FLAIR MR.
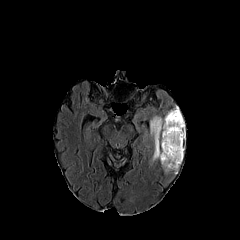
T1-weighted MR image.
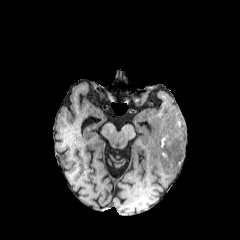
Post-contrast T1-weighted magnetic resonance.
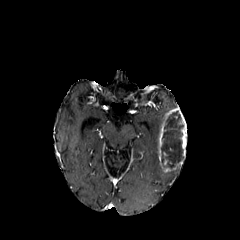
T2-weighted MRI.
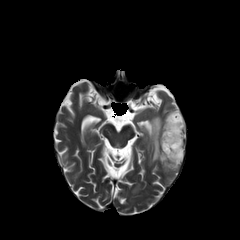
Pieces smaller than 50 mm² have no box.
The largest peritumoral edema region appears at (left=150, top=115, right=163, bottom=164). The largest enhancing tumor region is at (left=158, top=106, right=186, bottom=172). The necrotic tumor core is at (left=161, top=111, right=183, bottom=168).